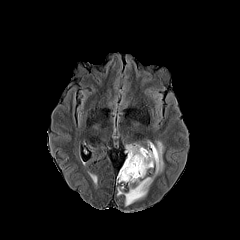
FLAIR MR.
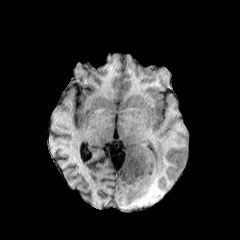
T1-weighted magnetic resonance.
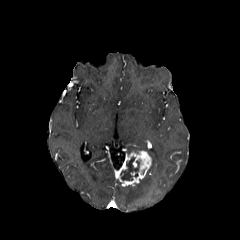
Post-contrast T1-weighted MR of the same slice.
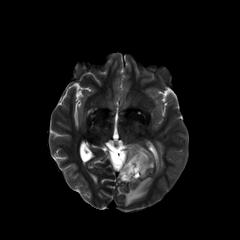
T2-weighted magnetic resonance.
Head; Axial view
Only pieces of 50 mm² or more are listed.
necrotic tumor core — bbox(120, 157, 139, 180)
enhancing tumor — bbox(116, 150, 151, 186)
peritumoral edema — bbox(126, 141, 163, 174); bbox(117, 177, 152, 205)